Head.
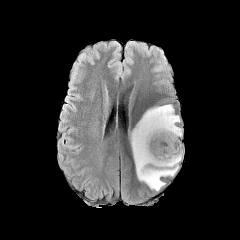
FLAIR MRI.
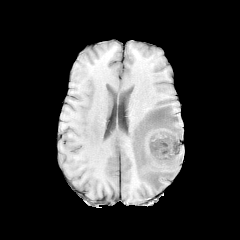
T1-weighted MRI.
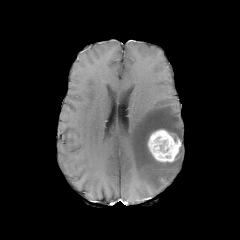
Post-contrast T1-weighted magnetic resonance of the same slice.
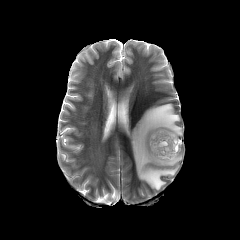
T2-weighted MR of the same slice.
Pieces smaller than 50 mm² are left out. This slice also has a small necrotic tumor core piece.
peritumoral edema = [130,104,182,190]
enhancing tumor = [147,129,181,162]